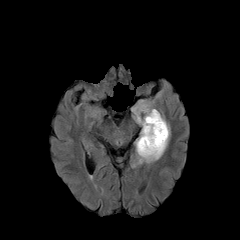
FLAIR MR.
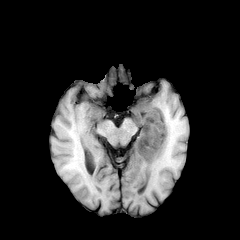
T1-weighted MR image.
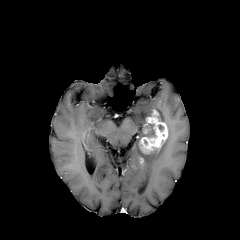
Same slice, post-contrast T1-weighted MR.
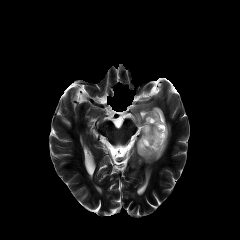
T2-weighted MRI.
Brain
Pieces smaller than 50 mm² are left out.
Findings:
* enhancing tumor: region(139, 109, 167, 154)
* necrotic tumor core: region(146, 124, 155, 136)
* peritumoral edema: region(132, 101, 170, 164)